FLAIR magnetic resonance.
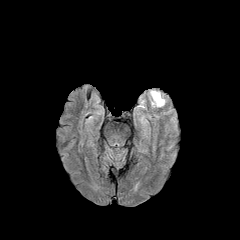
T1-weighted MRI.
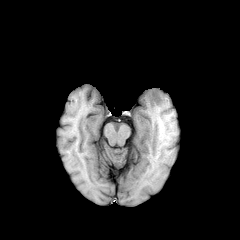
Post-contrast T1-weighted magnetic resonance.
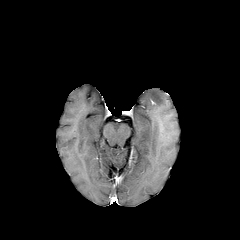
T2-weighted MRI.
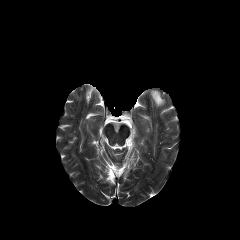
240x240 px; Axial slice
- peritumoral edema: left=150, top=90, right=165, bottom=106